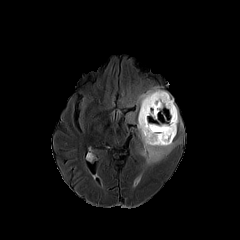
FLAIR magnetic resonance.
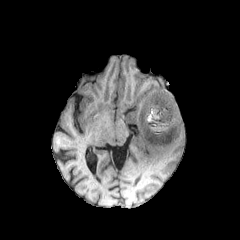
T1-weighted MR image.
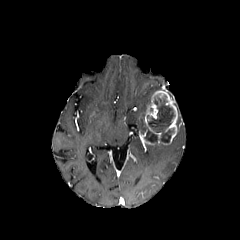
Post-contrast T1-weighted MR image.
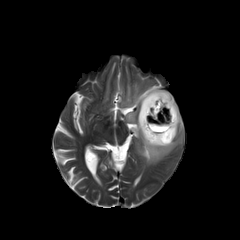
Same slice, T2-weighted MR image.
Head. Axial view.
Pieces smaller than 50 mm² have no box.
The 3 largest peritumoral edema regions are located at 127 113 135 121, 135 86 160 131, 140 139 179 164. The 2 largest necrotic tumor core regions appear at 141 123 157 142, 147 98 174 142. The enhancing tumor appears at 140 90 178 146.